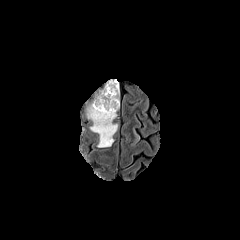
FLAIR magnetic resonance.
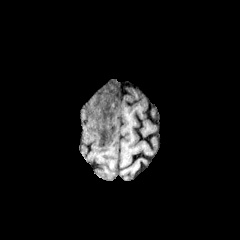
T1-weighted magnetic resonance.
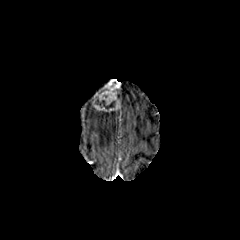
Post-contrast T1-weighted MR image.
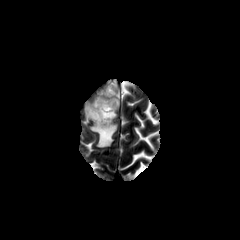
Same slice, T2-weighted MR image.
Brain
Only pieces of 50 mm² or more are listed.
Segmented structures:
- necrotic tumor core: box=[95, 99, 115, 109]
- peritumoral edema: box=[87, 105, 117, 147]
- enhancing tumor: box=[92, 79, 120, 112]